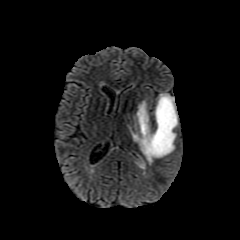
FLAIR MR image.
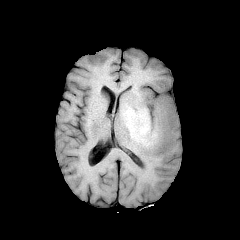
Same slice, T1-weighted MRI.
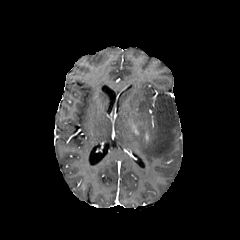
Same slice, post-contrast T1-weighted MRI.
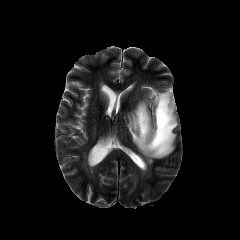
Same slice, T2-weighted magnetic resonance.
Axial slice; Head
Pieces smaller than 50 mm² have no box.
peritumoral edema: left=128, top=93, right=178, bottom=164
enhancing tumor: left=132, top=122, right=142, bottom=134